Brain; Image size 240x240
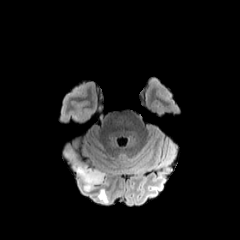
FLAIR MR image.
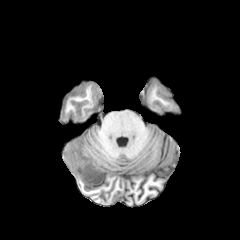
T1-weighted MR image.
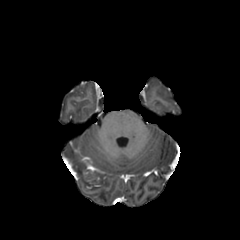
Post-contrast T1-weighted MRI of the same slice.
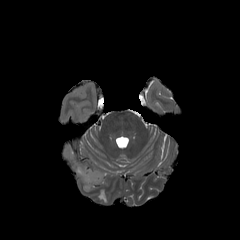
T2-weighted MR of the same slice.
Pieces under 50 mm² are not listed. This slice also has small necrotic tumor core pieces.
peritumoral_edema:
  - 64, 150, 97, 191
  - 93, 164, 104, 184
  - 98, 188, 108, 203
enhancing_tumor:
  - 82, 163, 103, 188